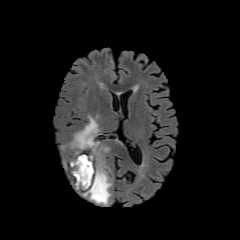
FLAIR MR.
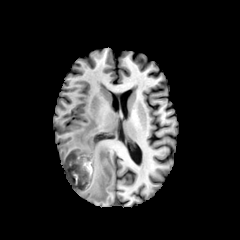
T1-weighted MR.
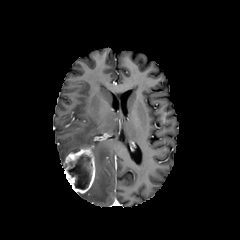
Same slice, post-contrast T1-weighted MRI.
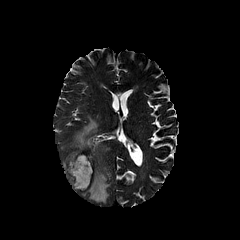
T2-weighted MR image of the same slice.
240x240 px
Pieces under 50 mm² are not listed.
necrotic tumor core: bounding box (65,154,91,189)
peritumoral edema: bounding box (68,116,111,204)
enhancing tumor: bounding box (63,144,95,193)